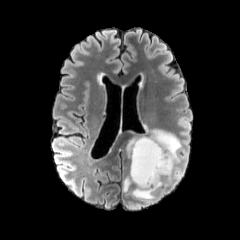
FLAIR MR.
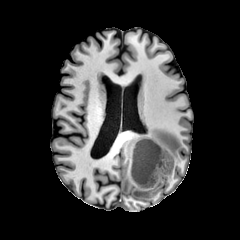
T1-weighted MR of the same slice.
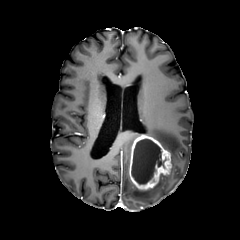
Same slice, post-contrast T1-weighted magnetic resonance.
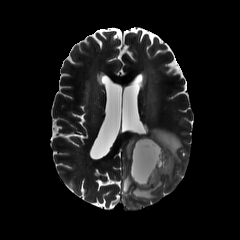
T2-weighted MR of the same slice.
Brain; Image size 240x240
enhancing tumor: bounding box (129,134,172,190)
necrotic tumor core: bounding box (131,139,165,184)
peritumoral edema: bounding box (131,125,181,201), (126,135,139,158), (123,173,132,192)